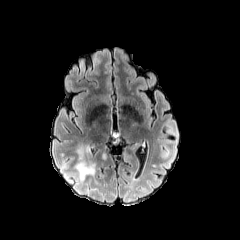
FLAIR MRI.
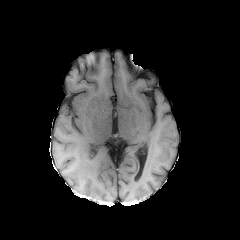
T1-weighted MR.
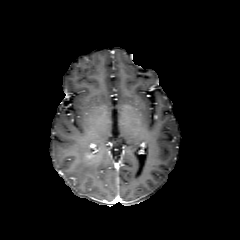
Post-contrast T1-weighted MR image.
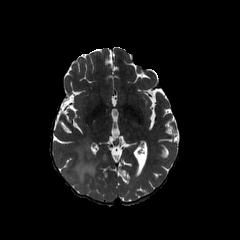
T2-weighted MR image of the same slice.
Head
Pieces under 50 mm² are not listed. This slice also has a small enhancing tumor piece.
peritumoral edema: 75:143:96:181